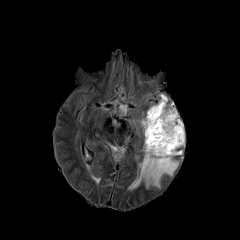
FLAIR MRI.
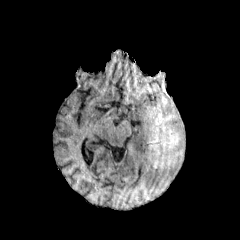
T1-weighted MR.
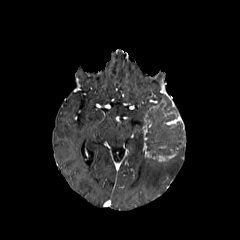
Post-contrast T1-weighted magnetic resonance.
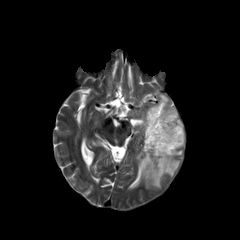
T2-weighted MR image.
Axial slice
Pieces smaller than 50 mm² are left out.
necrotic tumor core at 145, 105, 183, 156
enhancing tumor at 164, 116, 183, 129; 143, 142, 176, 161; 143, 120, 149, 140
peritumoral edema at 158, 94, 167, 106; 141, 157, 179, 188